Head. Axial view. Image width 240 mm.
FLAIR MR.
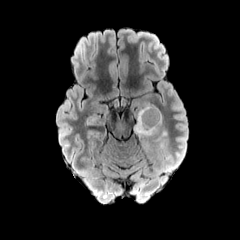
T1-weighted MRI.
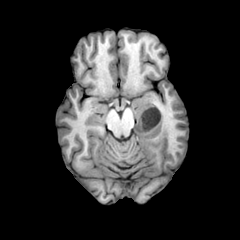
Post-contrast T1-weighted MR image.
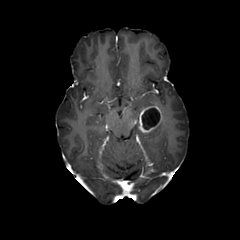
T2-weighted MR.
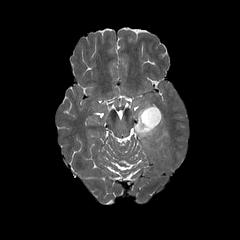
{"peritumoral_edema": ["[134, 102, 162, 138]", "[154, 128, 167, 142]"], "necrotic_tumor_core": ["[141, 108, 160, 129]"], "enhancing_tumor": ["[138, 105, 162, 133]"]}